Head
FLAIR MRI.
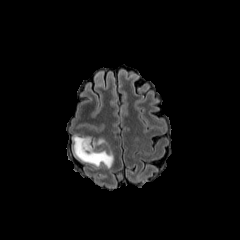
T1-weighted magnetic resonance.
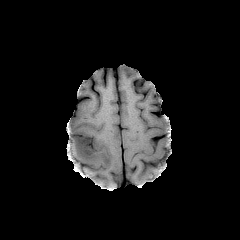
Post-contrast T1-weighted magnetic resonance.
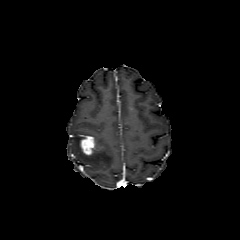
T2-weighted magnetic resonance.
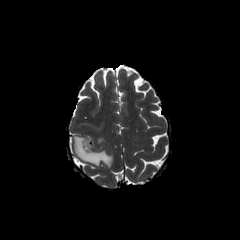
{
  "peritumoral_edema": [
    "73:134:113:168"
  ],
  "enhancing_tumor": [
    "80:136:95:155"
  ]
}